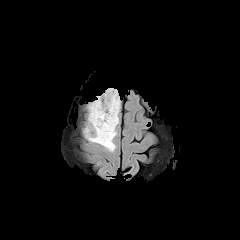
FLAIR magnetic resonance.
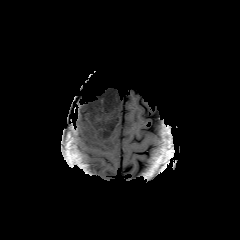
T1-weighted MR image.
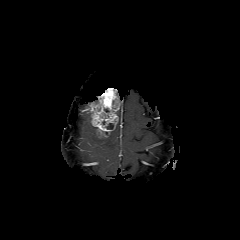
Post-contrast T1-weighted magnetic resonance of the same slice.
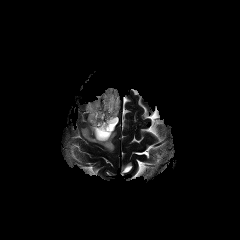
Same slice, T2-weighted MRI.
240x240 | Head
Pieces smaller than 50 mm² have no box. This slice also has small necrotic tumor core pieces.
Findings:
- peritumoral edema: bbox(84, 113, 116, 151)
- enhancing tumor: bbox(86, 88, 120, 138)